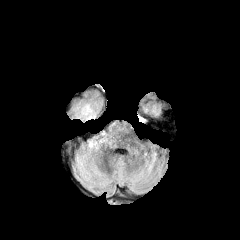
FLAIR MR image.
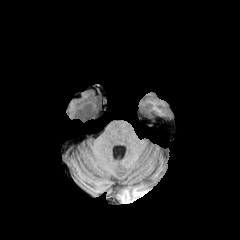
Same slice, T1-weighted MR.
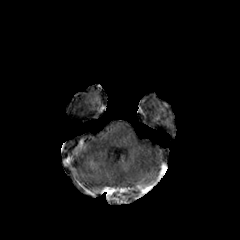
Post-contrast T1-weighted magnetic resonance of the same slice.
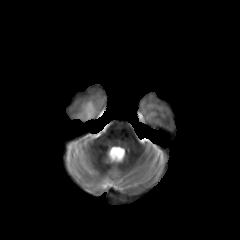
T2-weighted MR image of the same slice.
Axial view | Image size 240x240 | Brain
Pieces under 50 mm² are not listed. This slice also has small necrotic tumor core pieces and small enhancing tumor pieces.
The largest peritumoral edema region is at [74, 98, 98, 119].